FLAIR MRI.
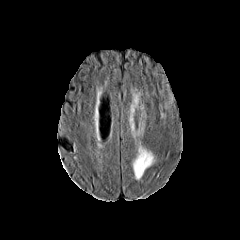
T1-weighted MR image.
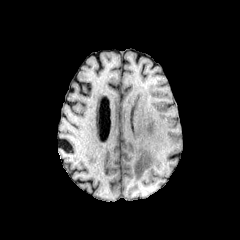
Post-contrast T1-weighted magnetic resonance.
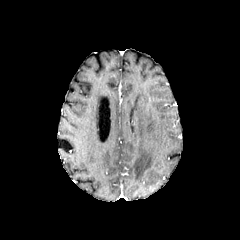
T2-weighted MR image.
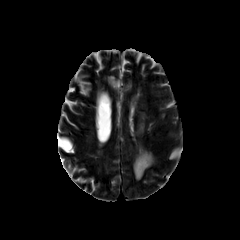
Head
peritumoral edema = x1=133, y1=147, x2=154, y2=179